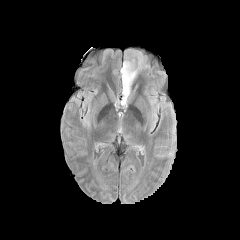
FLAIR MRI.
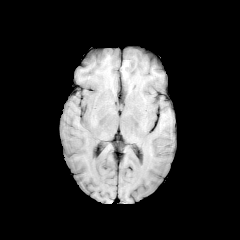
T1-weighted MR image.
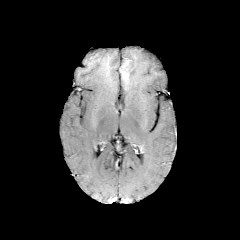
Post-contrast T1-weighted MRI.
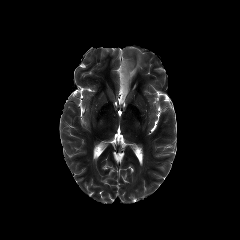
T2-weighted MR.
Axial plane; Brain; 240x240
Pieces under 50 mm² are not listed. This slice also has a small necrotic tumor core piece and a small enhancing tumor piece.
{
  "peritumoral_edema": [
    "x1=121 y1=57 x2=142 y2=99"
  ]
}